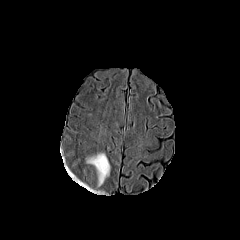
FLAIR MR.
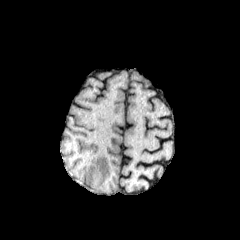
T1-weighted MRI.
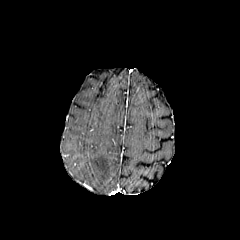
Post-contrast T1-weighted magnetic resonance of the same slice.
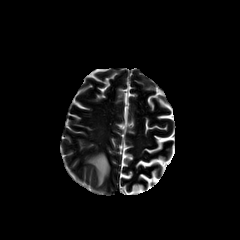
T2-weighted MRI.
Axial view
The peritumoral edema is bounded by 86,153,110,186.